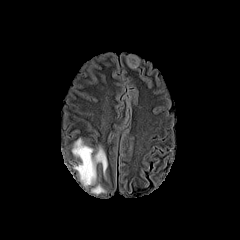
FLAIR MR.
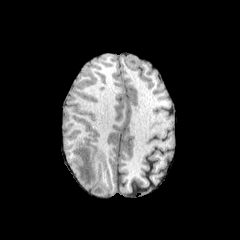
T1-weighted MR image.
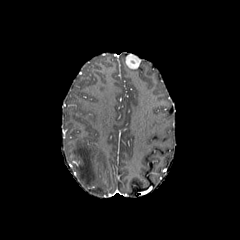
Post-contrast T1-weighted MR.
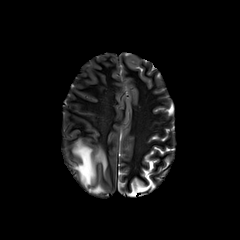
T2-weighted magnetic resonance.
{
  "peritumoral_edema": [
    "72 139 107 185",
    "92 185 103 193"
  ]
}